FLAIR MRI.
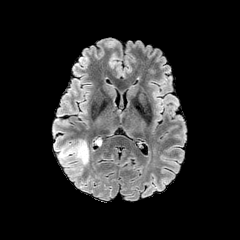
T1-weighted MR image.
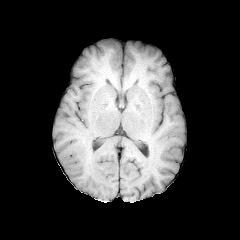
Post-contrast T1-weighted MRI.
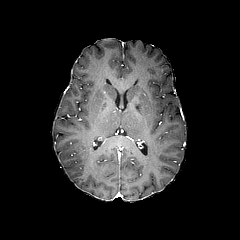
T2-weighted magnetic resonance.
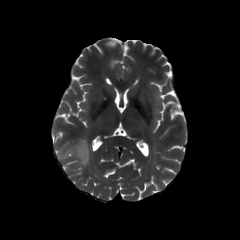
<segmentation>
  <peritumoral_edema>63,140,89,166</peritumoral_edema>
</segmentation>